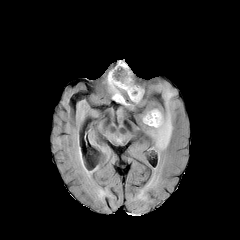
FLAIR MR.
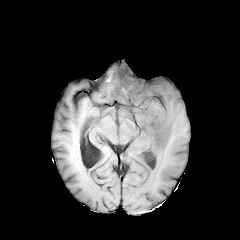
Same slice, T1-weighted magnetic resonance.
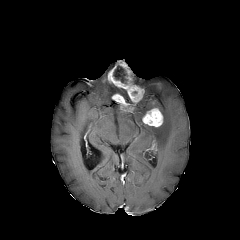
Post-contrast T1-weighted MR.
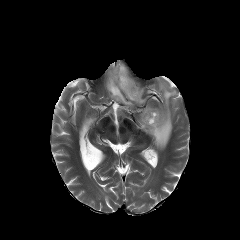
Same slice, T2-weighted MRI.
Brain.
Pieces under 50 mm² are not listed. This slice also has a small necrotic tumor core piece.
peritumoral edema: [x1=143, y1=83, x2=176, y2=150], [x1=107, y1=80, x2=134, y2=105]
enhancing tumor: [x1=142, y1=108, x2=163, y2=127], [x1=107, y1=60, x2=144, y2=104], [x1=112, y1=93, x2=133, y2=110]